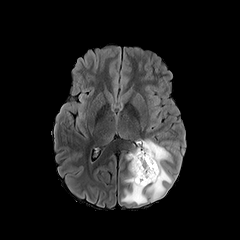
FLAIR MRI.
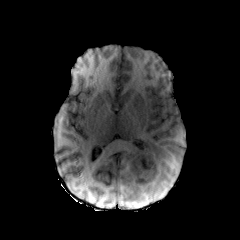
Same slice, T1-weighted magnetic resonance.
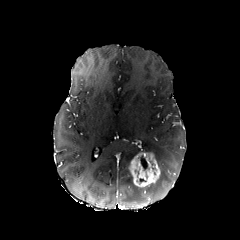
Same slice, post-contrast T1-weighted MR image.
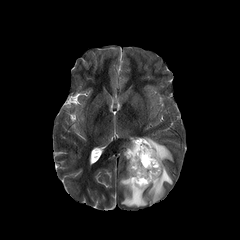
T2-weighted MRI of the same slice.
Axial view. Head.
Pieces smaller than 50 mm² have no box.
The largest necrotic tumor core region lies within {"x1": 140, "y1": 155, "x2": 147, "y2": 169}. The peritumoral edema lies within {"x1": 120, "y1": 138, "x2": 173, "y2": 205}. The enhancing tumor appears at {"x1": 128, "y1": 152, "x2": 160, "y2": 187}.